FLAIR MR.
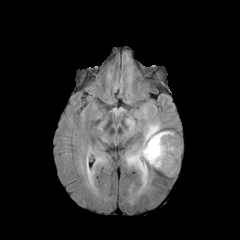
T1-weighted MRI.
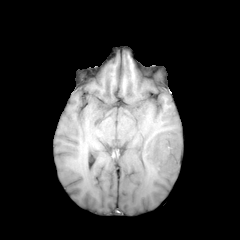
Post-contrast T1-weighted MR.
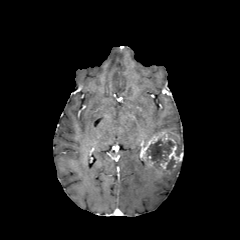
T2-weighted MRI.
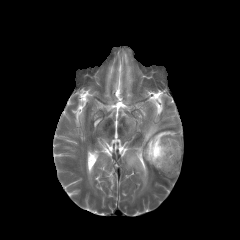
Image size 240x240
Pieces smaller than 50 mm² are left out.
necrotic_tumor_core:
  - box=[166, 157, 175, 170]
  - box=[146, 139, 174, 163]
  - box=[175, 138, 181, 156]
enhancing_tumor:
  - box=[140, 131, 182, 171]
peritumoral_edema:
  - box=[96, 156, 106, 163]
  - box=[87, 168, 94, 185]
  - box=[153, 163, 178, 176]
  - box=[124, 120, 162, 194]